Axial slice. Brain.
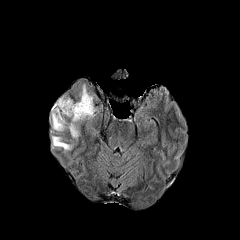
FLAIR magnetic resonance.
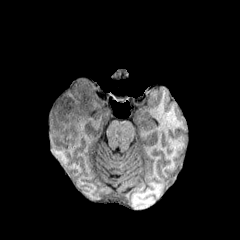
T1-weighted MRI of the same slice.
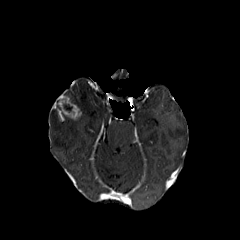
Post-contrast T1-weighted MRI.
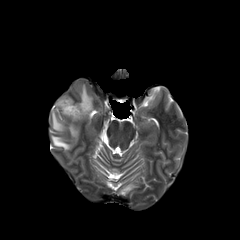
T2-weighted magnetic resonance of the same slice.
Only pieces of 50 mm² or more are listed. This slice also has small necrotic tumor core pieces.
<segmentation>
  <peritumoral_edema>51:84:95:140, 52:136:72:150</peritumoral_edema>
  <enhancing_tumor>51:95:82:121</enhancing_tumor>
</segmentation>